Axial view, Slice 102/155, 240x240
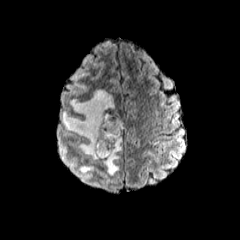
FLAIR magnetic resonance.
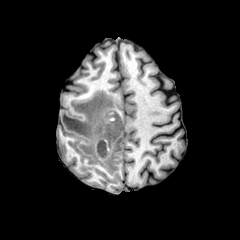
Same slice, T1-weighted MR image.
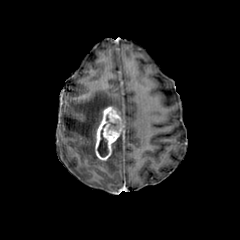
Post-contrast T1-weighted MRI of the same slice.
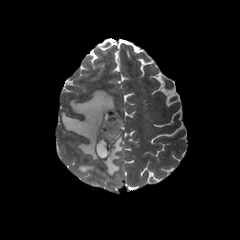
Same slice, T2-weighted magnetic resonance.
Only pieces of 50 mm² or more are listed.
peritumoral edema: bbox=[62, 90, 116, 160]; bbox=[101, 134, 122, 175]; bbox=[80, 165, 93, 178]
necrotic tumor core: bbox=[105, 117, 119, 135]; bbox=[97, 129, 108, 157]
enhancing tumor: bbox=[94, 106, 123, 160]